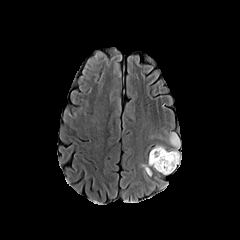
FLAIR magnetic resonance.
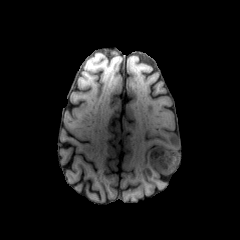
T1-weighted MR of the same slice.
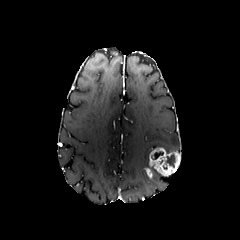
Post-contrast T1-weighted MRI.
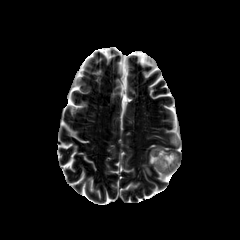
T2-weighted MRI.
Axial plane. Brain.
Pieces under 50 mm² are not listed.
enhancing tumor: bounding box 144 168 152 179, 149 147 180 177
necrotic tumor core: bounding box 166 154 175 167, 151 151 163 159
peritumoral edema: bounding box 169 132 180 153, 155 177 168 187